FLAIR MRI.
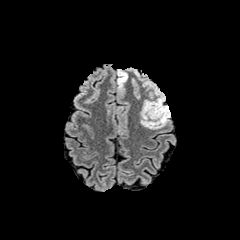
T1-weighted MRI.
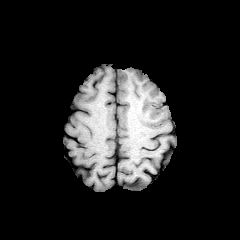
Post-contrast T1-weighted MR image.
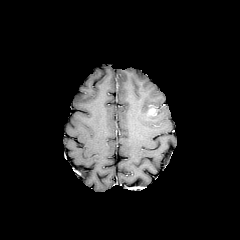
T2-weighted magnetic resonance.
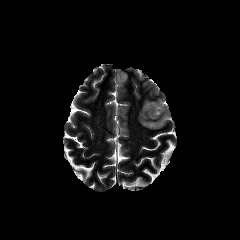
Axial slice; 240x240 px
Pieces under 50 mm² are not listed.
<segmentation>
  <enhancing_tumor>box(148, 107, 157, 116)</enhancing_tumor>
  <peritumoral_edema>box(117, 69, 128, 89); box(140, 81, 170, 129)</peritumoral_edema>
</segmentation>